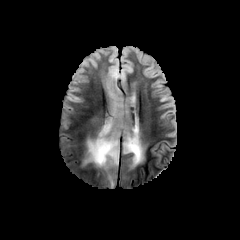
FLAIR MR image.
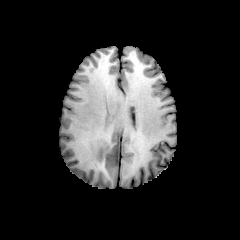
T1-weighted magnetic resonance.
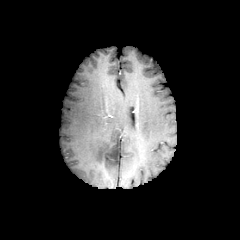
Post-contrast T1-weighted magnetic resonance of the same slice.
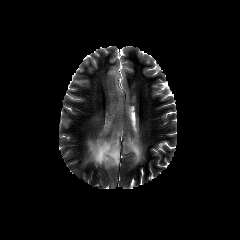
T2-weighted magnetic resonance.
Brain; Axial plane; 240x240
peritumoral edema: [x1=85, y1=119, x2=119, y2=167], [x1=124, y1=128, x2=142, y2=164]